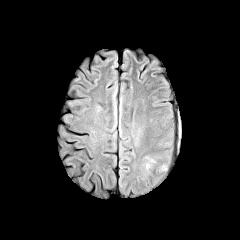
FLAIR MR.
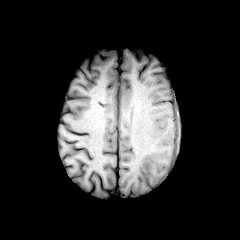
T1-weighted magnetic resonance.
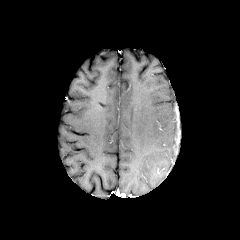
Post-contrast T1-weighted magnetic resonance.
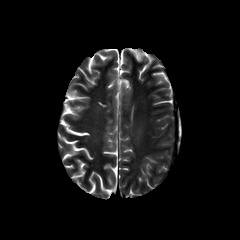
Same slice, T2-weighted MRI.
240x240
peritumoral edema — (x1=154, y1=162, x2=168, y2=173), (x1=144, y1=154, x2=155, y2=170)